Slice index 102; Image covers 240 mm x 240 mm; Axial view; Head
FLAIR magnetic resonance.
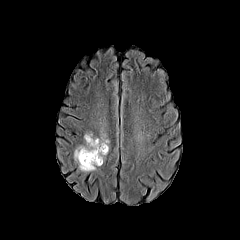
T1-weighted magnetic resonance.
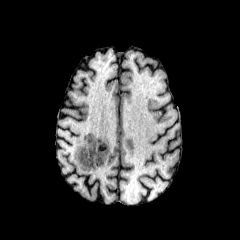
Post-contrast T1-weighted magnetic resonance.
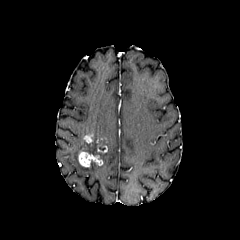
T2-weighted MR.
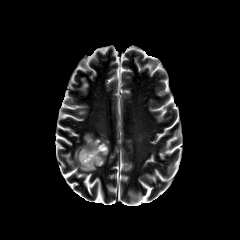
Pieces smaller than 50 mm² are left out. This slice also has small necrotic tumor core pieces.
The 2 largest peritumoral edema regions appear at <bbox>79, 163, 95, 171</bbox>, <bbox>74, 133, 109, 162</bbox>. The 3 largest enhancing tumor regions are bounded by <bbox>78, 151, 103, 167</bbox>, <bbox>84, 134, 93, 143</bbox>, <bbox>97, 144, 107, 153</bbox>.